240x240
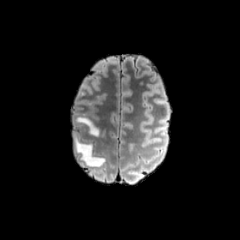
FLAIR MRI.
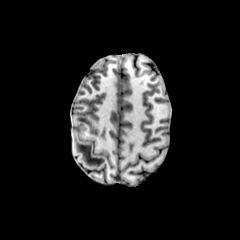
T1-weighted magnetic resonance of the same slice.
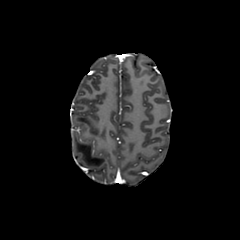
Post-contrast T1-weighted MRI of the same slice.
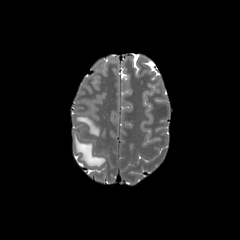
Same slice, T2-weighted MR.
peritumoral_edema:
  - rect(75, 116, 99, 135)
  - rect(74, 131, 105, 166)